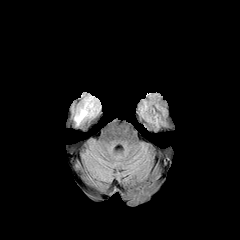
FLAIR MR.
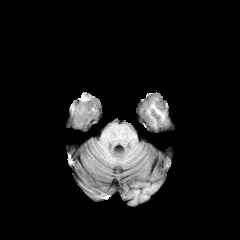
T1-weighted MR image of the same slice.
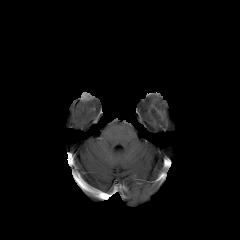
Same slice, post-contrast T1-weighted magnetic resonance.
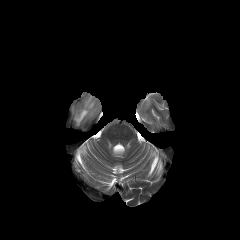
T2-weighted MR of the same slice.
Axial slice
The peritumoral edema appears at bbox=[74, 96, 97, 125].